Head; Axial plane; Image width 240 mm, 1.00 mm slice spacing
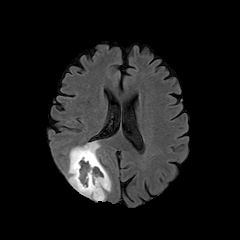
FLAIR magnetic resonance.
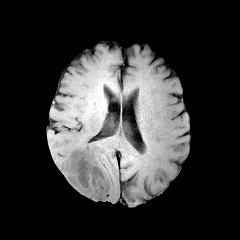
Same slice, T1-weighted MRI.
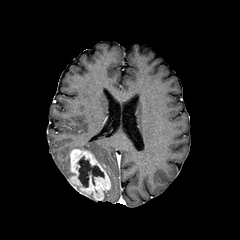
Post-contrast T1-weighted MR image of the same slice.
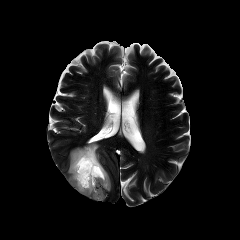
Same slice, T2-weighted MR.
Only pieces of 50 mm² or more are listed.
peritumoral_edema:
  - 67 153 74 179
  - 73 142 100 162
necrotic_tumor_core:
  - 77 156 104 187
enhancing_tumor:
  - 69 149 110 200